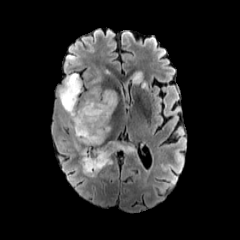
FLAIR MRI.
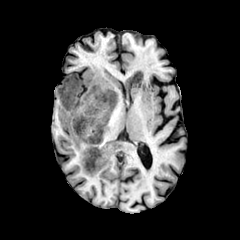
T1-weighted MRI.
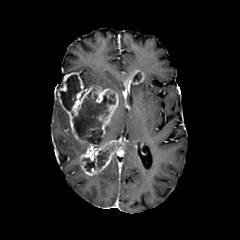
Post-contrast T1-weighted MRI.
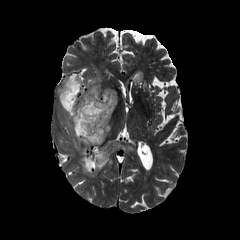
T2-weighted MRI of the same slice.
Axial slice; Image size 240x240
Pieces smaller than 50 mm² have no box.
<segmentation>
  <enhancing_tumor>(left=57, top=72, right=122, bottom=175)</enhancing_tumor>
  <peritumoral_edema>(left=90, top=71, right=101, bottom=85), (left=73, top=136, right=86, bottom=154), (left=117, top=141, right=134, bottom=152)</peritumoral_edema>
  <necrotic_tumor_core>(left=73, top=92, right=115, bottom=144), (left=82, top=158, right=95, bottom=171), (left=97, top=145, right=113, bottom=167), (left=59, top=74, right=80, bottom=111), (left=133, top=72, right=141, bottom=82)</necrotic_tumor_core>
</segmentation>